FLAIR MRI.
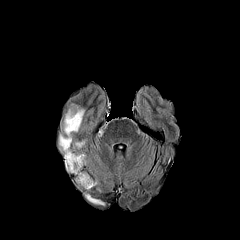
T1-weighted MR.
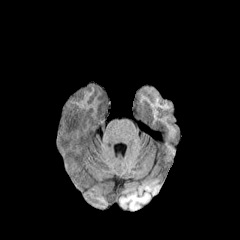
Post-contrast T1-weighted magnetic resonance.
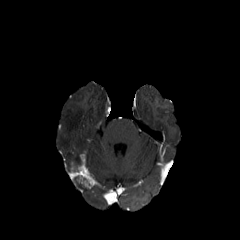
T2-weighted MR image.
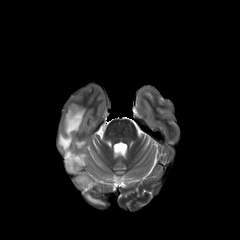
240x240
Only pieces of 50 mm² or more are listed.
The largest necrotic tumor core region appears at x1=74, y1=156, x2=81, y2=166. The enhancing tumor lies within x1=70, y1=154, x2=95, y2=188. 3 peritumoral edema regions appear at x1=59, y1=105, x2=84, y2=170; x1=75, y1=141, x2=84, y2=148; x1=86, y1=194, x2=103, y2=204.